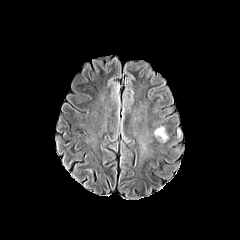
FLAIR MR.
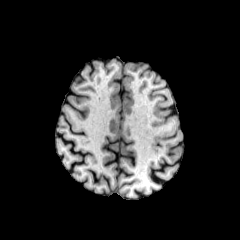
T1-weighted MRI of the same slice.
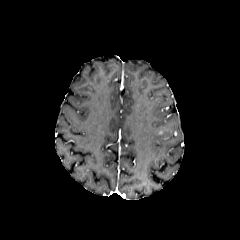
Post-contrast T1-weighted MR.
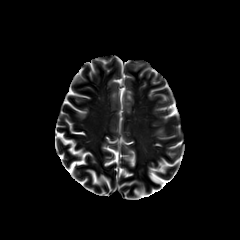
T2-weighted MR.
Axial slice.
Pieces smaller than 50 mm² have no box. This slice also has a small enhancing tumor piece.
Segmented structures:
* peritumoral edema: (x1=154, y1=126, x2=166, y2=141)